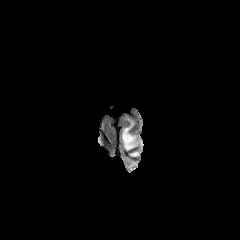
FLAIR magnetic resonance.
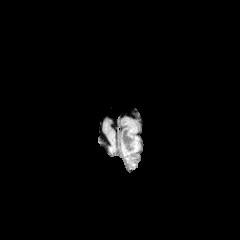
Same slice, T1-weighted MR.
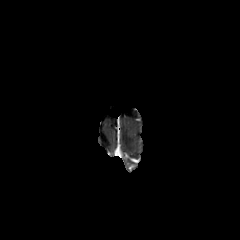
Post-contrast T1-weighted MRI of the same slice.
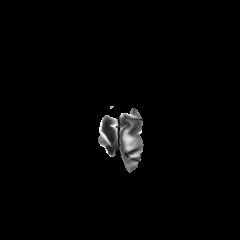
T2-weighted magnetic resonance.
Axial plane. Brain.
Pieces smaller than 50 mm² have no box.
peritumoral edema: x1=122 y1=121 x2=138 y2=150